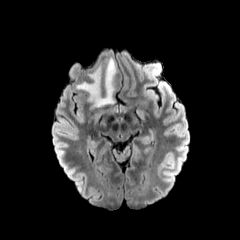
FLAIR MR image.
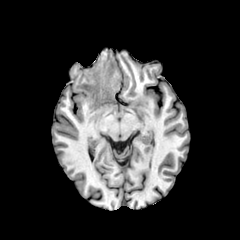
T1-weighted magnetic resonance.
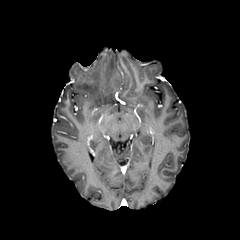
Post-contrast T1-weighted MRI.
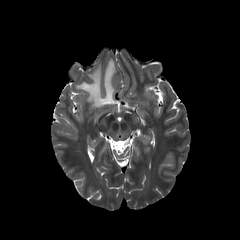
T2-weighted MRI of the same slice.
Head | 240x240 px | Axial view
peritumoral edema: bounding box 76, 58, 115, 107